Slice index 65, 240x240 px
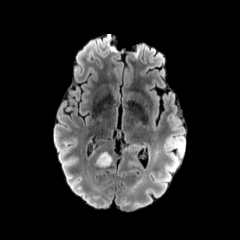
FLAIR MR.
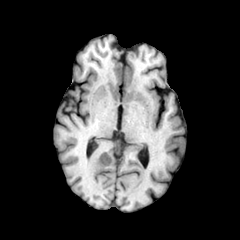
T1-weighted MR image.
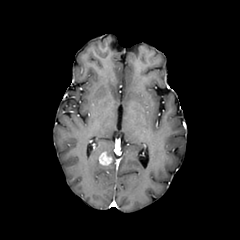
Post-contrast T1-weighted MR image.
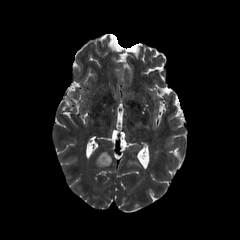
T2-weighted MR image.
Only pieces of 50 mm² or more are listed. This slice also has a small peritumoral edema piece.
enhancing tumor = region(98, 151, 112, 166)